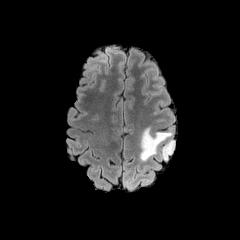
FLAIR MRI.
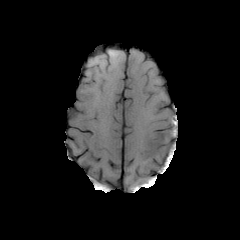
T1-weighted MR image of the same slice.
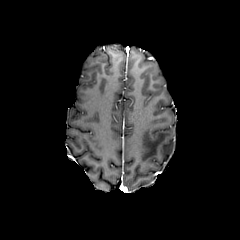
Post-contrast T1-weighted MR image.
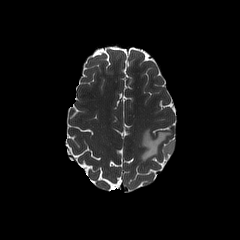
Same slice, T2-weighted MR image.
Head. Axial plane.
peritumoral_edema:
  - (x1=160, y1=141, x2=175, y2=159)
  - (x1=140, y1=127, x2=172, y2=161)